Slice 93/155; Brain; 240x240 px
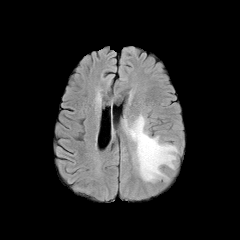
FLAIR MRI.
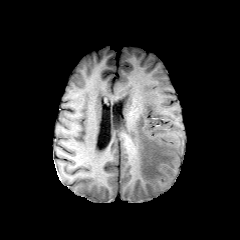
T1-weighted MRI.
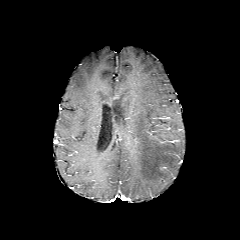
Post-contrast T1-weighted MRI of the same slice.
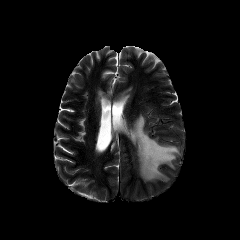
T2-weighted MR image.
peritumoral edema = {"x1": 125, "y1": 114, "x2": 178, "y2": 181}